FLAIR MRI.
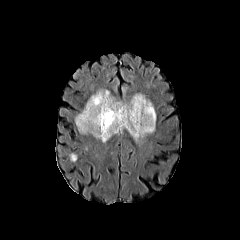
T1-weighted magnetic resonance.
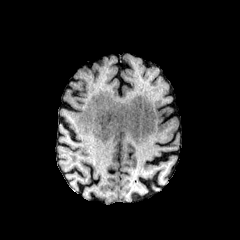
Post-contrast T1-weighted MR image.
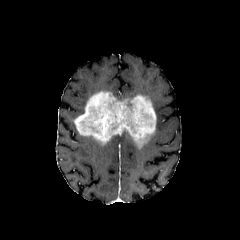
T2-weighted MR image.
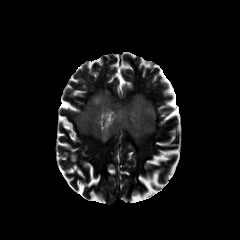
Head.
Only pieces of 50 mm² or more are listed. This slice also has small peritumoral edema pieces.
Annotated regions:
- enhancing tumor: 74 91 156 146